FLAIR MRI.
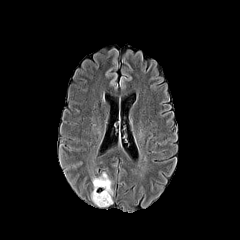
T1-weighted MRI.
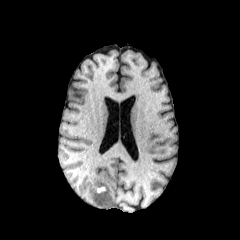
Post-contrast T1-weighted magnetic resonance.
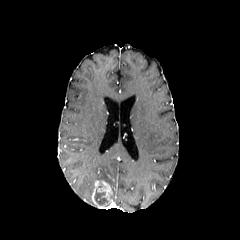
T2-weighted MR.
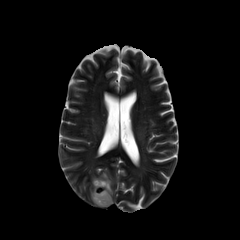
Axial view. Head.
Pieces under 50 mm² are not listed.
The largest peritumoral edema region is bounded by (92,172,111,186). The enhancing tumor appears at (91,180,112,207). The largest necrotic tumor core region appears at (95,190,108,205).